FLAIR magnetic resonance.
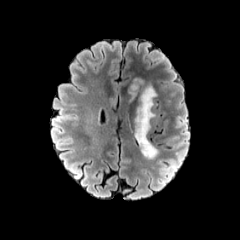
T1-weighted MR.
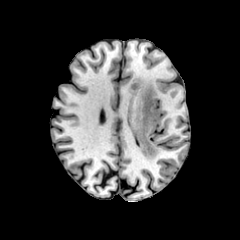
Post-contrast T1-weighted MR image.
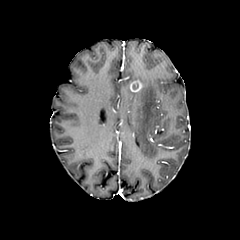
T2-weighted MR.
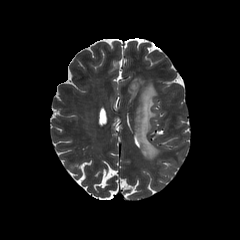
Brain. Axial plane.
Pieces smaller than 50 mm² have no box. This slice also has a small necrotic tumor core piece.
The largest peritumoral edema region is bounded by box=[134, 78, 158, 159]. The enhancing tumor appears at box=[130, 80, 142, 92].